Slice 121/155 | Image width 240 mm, 1.00 mm slice spacing | Axial plane
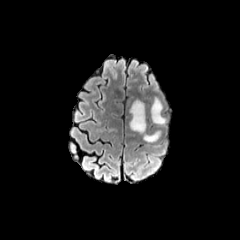
FLAIR MRI.
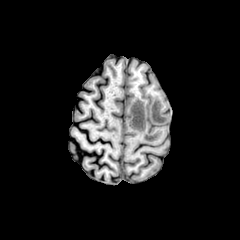
T1-weighted MR.
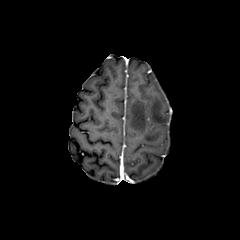
Same slice, post-contrast T1-weighted magnetic resonance.
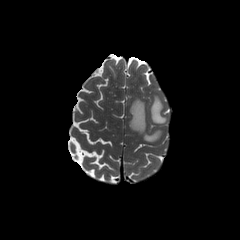
Same slice, T2-weighted MRI.
peritumoral edema: {"x1": 144, "y1": 131, "x2": 160, "y2": 141}, {"x1": 150, "y1": 97, "x2": 166, "y2": 124}, {"x1": 129, "y1": 99, "x2": 146, "y2": 133}